Axial plane | Slice 106/155 | Image covers 240 mm x 240 mm | Head
FLAIR MR.
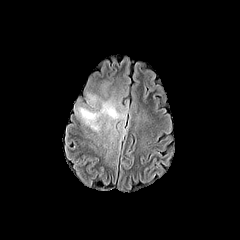
T1-weighted MRI.
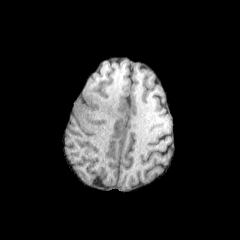
Post-contrast T1-weighted MR.
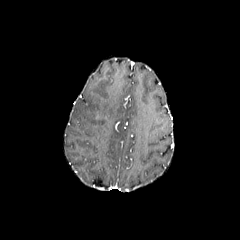
T2-weighted MR.
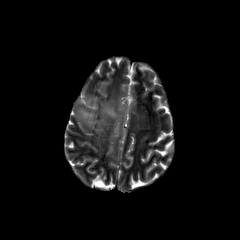
The peritumoral edema is located at (75, 94, 127, 132).